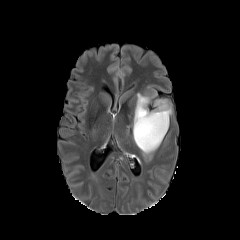
FLAIR MR image.
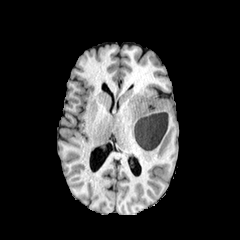
T1-weighted MR image.
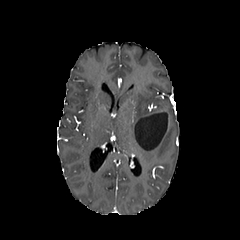
Same slice, post-contrast T1-weighted MR.
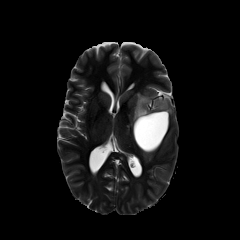
T2-weighted MRI.
240x240.
The peritumoral edema is bounded by box=[133, 93, 171, 158].